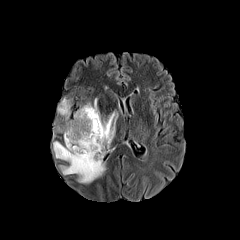
FLAIR MR image.
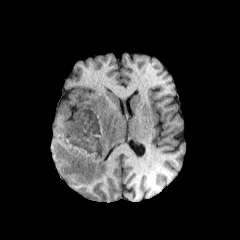
T1-weighted MR image.
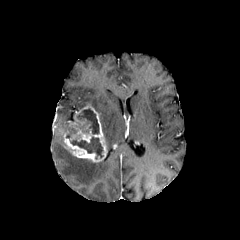
Post-contrast T1-weighted MRI.
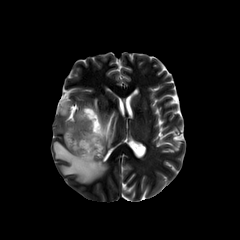
T2-weighted magnetic resonance.
Image size 240x240
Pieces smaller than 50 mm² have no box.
peritumoral edema: 58, 98, 70, 119; 100, 111, 117, 150; 53, 141, 106, 183; 93, 98, 99, 113 | necrotic tumor core: 70, 137, 103, 159; 66, 127, 76, 139; 77, 108, 99, 134 | enhancing tumor: 63, 130, 103, 162; 69, 104, 107, 156